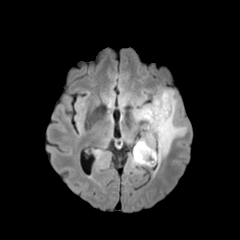
FLAIR magnetic resonance.
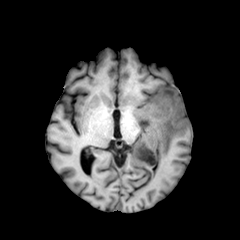
T1-weighted MR of the same slice.
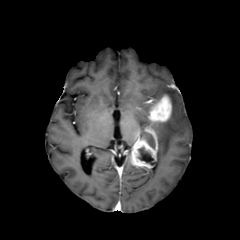
Post-contrast T1-weighted MR image of the same slice.
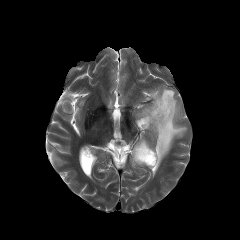
T2-weighted MRI.
Axial slice
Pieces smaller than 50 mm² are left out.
Findings:
- enhancing tumor: bbox(146, 127, 156, 139); bbox(148, 94, 171, 122); bbox(130, 139, 156, 168)
- peritumoral edema: bbox(133, 89, 186, 166)
- necrotic tumor core: bbox(138, 147, 153, 164)